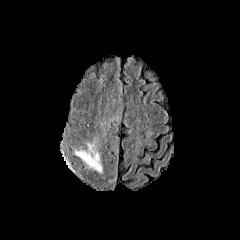
FLAIR MR.
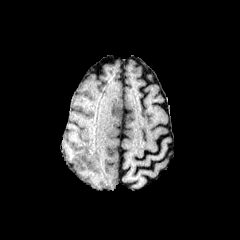
Same slice, T1-weighted magnetic resonance.
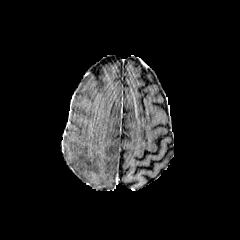
Same slice, post-contrast T1-weighted MRI.
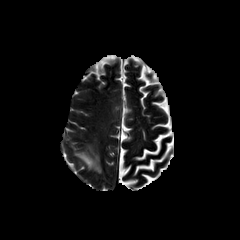
T2-weighted MR image of the same slice.
Head
peritumoral edema: [75,144,102,172]